FLAIR magnetic resonance.
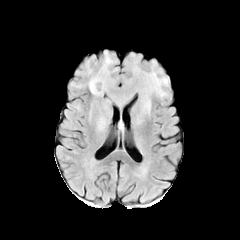
T1-weighted MRI.
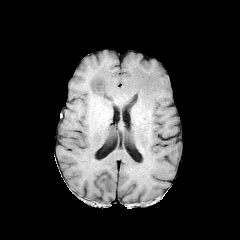
Post-contrast T1-weighted MR image.
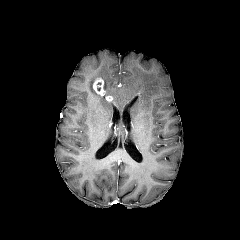
T2-weighted magnetic resonance.
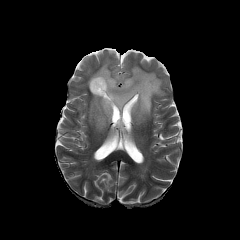
240x240 px | Brain
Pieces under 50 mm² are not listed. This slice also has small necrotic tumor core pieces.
- enhancing tumor: [92,78,105,95]
- peritumoral edema: [88,53,167,122], [96,114,107,130]